FLAIR MR.
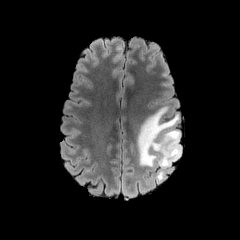
T1-weighted magnetic resonance.
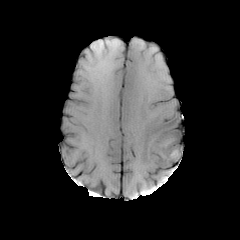
Post-contrast T1-weighted MR image.
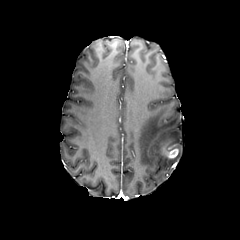
T2-weighted MRI.
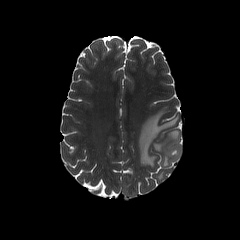
Brain; Axial slice; Image size 240x240
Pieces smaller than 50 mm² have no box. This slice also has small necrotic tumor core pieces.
The peritumoral edema is at (137, 106, 181, 181). The enhancing tumor is at (162, 144, 178, 158).